FLAIR MRI.
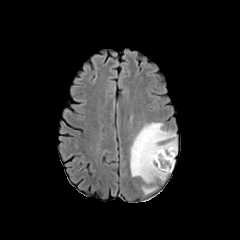
T1-weighted MR.
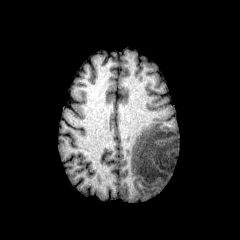
Post-contrast T1-weighted MRI.
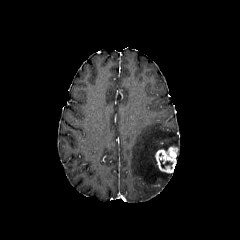
T2-weighted magnetic resonance.
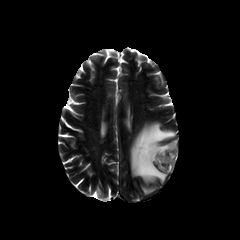
240x240 px; Axial slice
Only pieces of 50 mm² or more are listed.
Annotated regions:
- peritumoral edema: (142,187,156,194), (130,122,177,183)
- enhancing tumor: (155,146,177,173)
- necrotic tumor core: (160,160,172,168)